Axial view; 240x240 px; Head
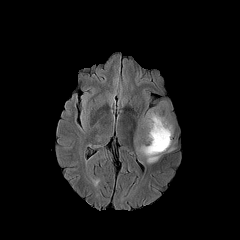
FLAIR magnetic resonance.
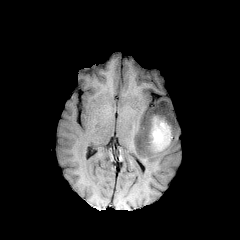
T1-weighted magnetic resonance.
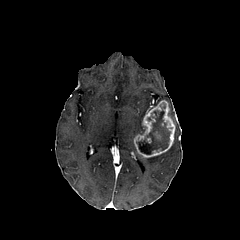
Same slice, post-contrast T1-weighted MR.
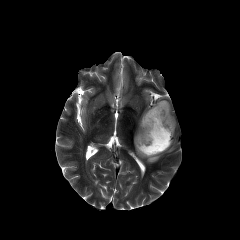
T2-weighted MRI of the same slice.
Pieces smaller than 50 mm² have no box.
<segmentation>
  <necrotic_tumor_core>137:111:170:154</necrotic_tumor_core>
  <peritumoral_edema>144:155:160:163</peritumoral_edema>
  <enhancing_tumor>134:100:175:157</enhancing_tumor>
</segmentation>